Axial view, Slice 76/155
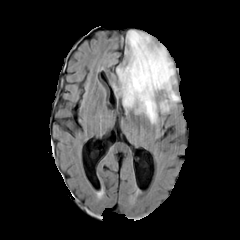
FLAIR MR image.
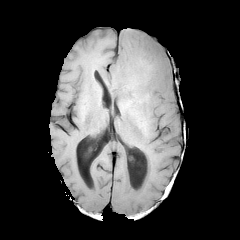
T1-weighted MR.
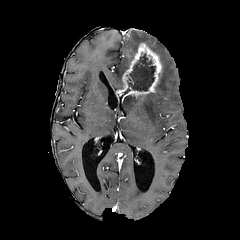
Post-contrast T1-weighted magnetic resonance.
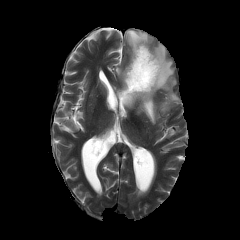
T2-weighted MR.
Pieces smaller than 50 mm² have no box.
The largest enhancing tumor region appears at {"x1": 116, "y1": 42, "x2": 162, "y2": 98}. The necrotic tumor core is bounded by {"x1": 128, "y1": 54, "x2": 155, "y2": 91}. 2 peritumoral edema regions appear at {"x1": 122, "y1": 93, "x2": 157, "y2": 123}, {"x1": 114, "y1": 30, "x2": 178, "y2": 112}.